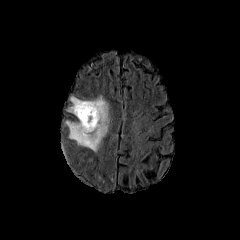
FLAIR MRI.
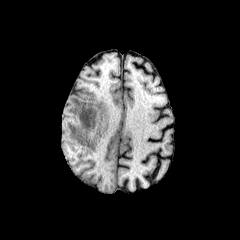
T1-weighted MR.
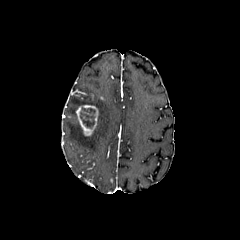
Post-contrast T1-weighted magnetic resonance of the same slice.
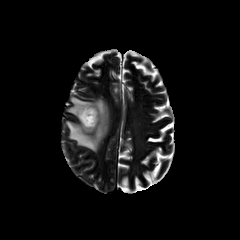
T2-weighted MR.
Head | 240x240
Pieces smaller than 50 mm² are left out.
{
  "necrotic_tumor_core": [
    "(left=80, top=112, right=95, bottom=127)"
  ],
  "peritumoral_edema": [
    "(left=65, top=96, right=109, bottom=151)"
  ],
  "enhancing_tumor": [
    "(left=76, top=105, right=98, bottom=135)"
  ]
}